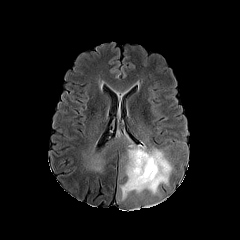
FLAIR MRI.
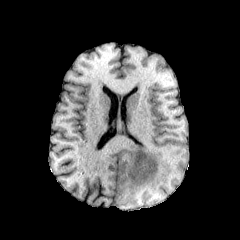
T1-weighted MRI.
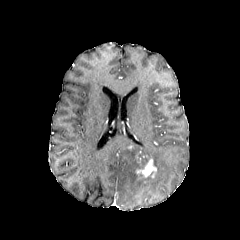
Post-contrast T1-weighted magnetic resonance.
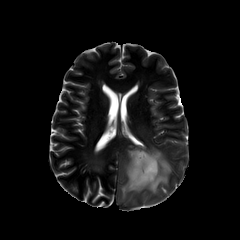
T2-weighted MR image.
240x240, Head
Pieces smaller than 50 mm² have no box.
The largest necrotic tumor core region is bounded by 132,152,151,182. The largest enhancing tumor region is located at 136,158,156,178. The peritumoral edema lies within 119,144,172,200.